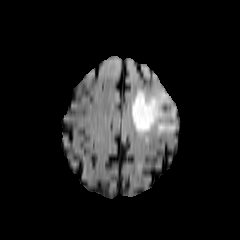
FLAIR MR.
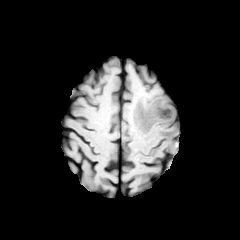
T1-weighted MR of the same slice.
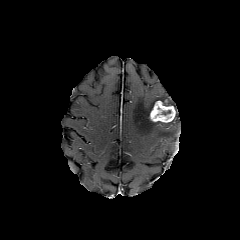
Post-contrast T1-weighted MRI.
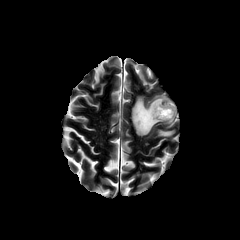
T2-weighted MR.
Head, Image size 240x240
Findings:
• necrotic tumor core: left=154, top=105, right=171, bottom=117
• enhancing tumor: left=149, top=99, right=175, bottom=122
• peritumoral edema: left=131, top=92, right=174, bottom=135